FLAIR magnetic resonance.
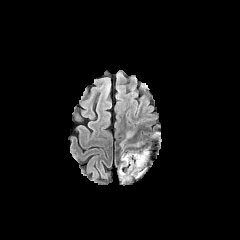
T1-weighted MR.
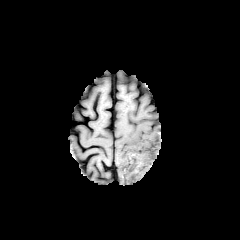
Post-contrast T1-weighted MRI.
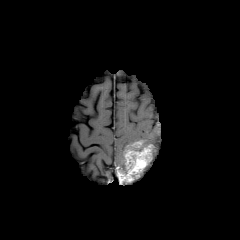
T2-weighted MRI.
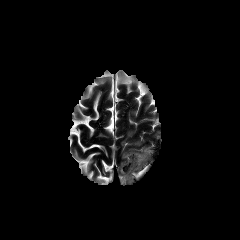
Axial view
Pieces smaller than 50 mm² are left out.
Findings:
• peritumoral edema: 118, 153, 126, 173
• enhancing tumor: 118, 140, 152, 183